Axial plane.
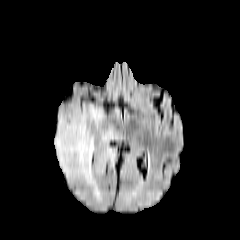
FLAIR magnetic resonance.
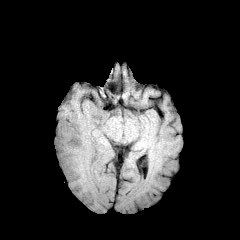
Same slice, T1-weighted MR image.
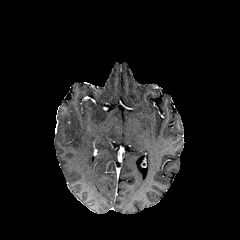
Same slice, post-contrast T1-weighted magnetic resonance.
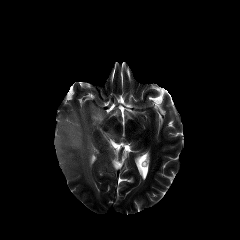
Same slice, T2-weighted MRI.
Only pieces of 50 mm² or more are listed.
peritumoral edema: l=54, t=104, r=118, b=200